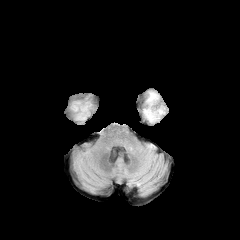
FLAIR magnetic resonance.
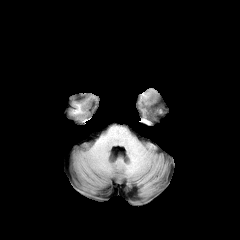
T1-weighted MR image.
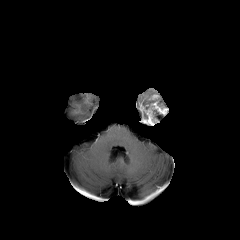
Post-contrast T1-weighted MR.
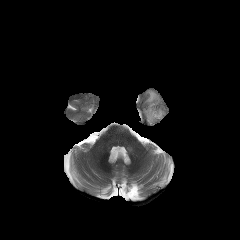
T2-weighted magnetic resonance.
Axial slice. Image size 240x240. Brain.
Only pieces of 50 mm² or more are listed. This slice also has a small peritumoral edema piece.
enhancing_tumor:
  - (141,93,168,125)